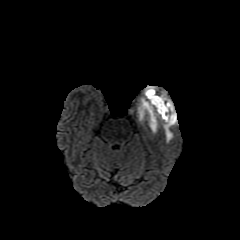
FLAIR MR image.
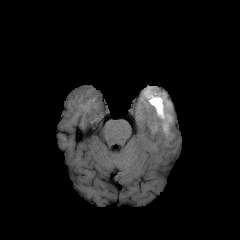
T1-weighted MR image.
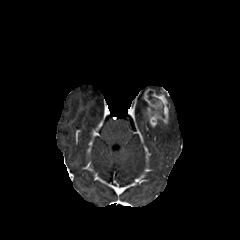
Post-contrast T1-weighted MRI.
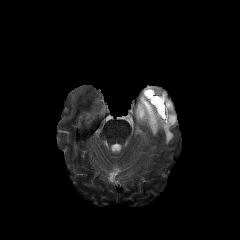
T2-weighted magnetic resonance.
Brain.
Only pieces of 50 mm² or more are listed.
Findings:
• peritumoral edema: {"x1": 137, "y1": 86, "x2": 177, "y2": 142}
• enhancing tumor: {"x1": 143, "y1": 89, "x2": 168, "y2": 127}
• necrotic tumor core: {"x1": 147, "y1": 90, "x2": 159, "y2": 103}